Slice 62/155, 240x240
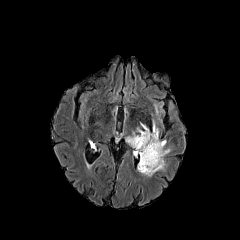
FLAIR MR.
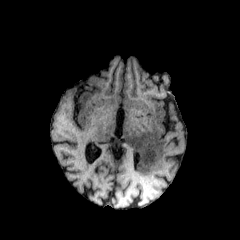
T1-weighted MR image.
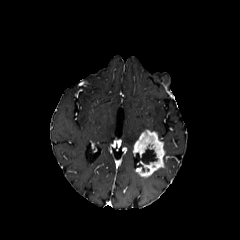
Same slice, post-contrast T1-weighted MR image.
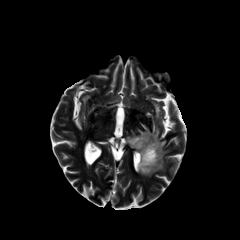
Same slice, T2-weighted MR image.
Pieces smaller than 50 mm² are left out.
The enhancing tumor is at x1=133, y1=129, x2=165, y2=177. The 2 largest peritumoral edema regions appear at x1=125, y1=132, x2=139, y2=148; x1=153, y1=120, x2=159, y2=136. The largest necrotic tumor core region is bounded by x1=140, y1=149, x2=157, y2=164.